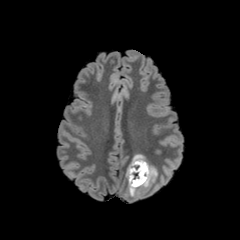
FLAIR MR.
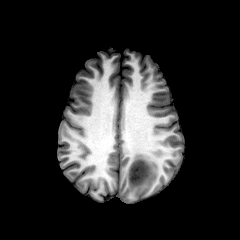
T1-weighted MR image.
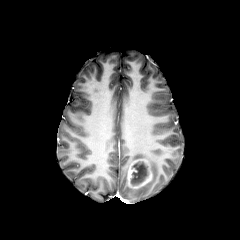
Post-contrast T1-weighted MR.
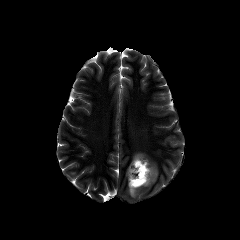
T2-weighted MR image.
Axial view.
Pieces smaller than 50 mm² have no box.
<segmentation>
  <necrotic_tumor_core>[x1=131, y1=161, x2=147, y2=185]</necrotic_tumor_core>
  <peritumoral_edema>[x1=128, y1=163, x2=157, y2=196], [x1=131, y1=154, x2=145, y2=163]</peritumoral_edema>
  <enhancing_tumor>[x1=127, y1=159, x2=152, y2=188]</enhancing_tumor>
</segmentation>